Head | Axial view
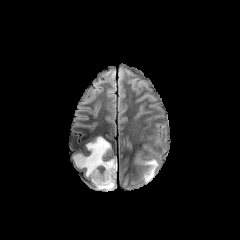
FLAIR MRI.
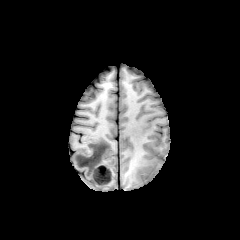
T1-weighted MR.
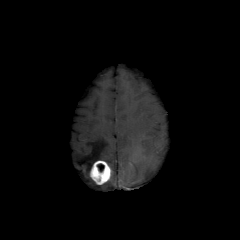
Same slice, post-contrast T1-weighted magnetic resonance.
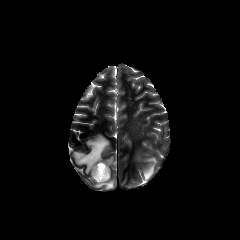
T2-weighted MR image.
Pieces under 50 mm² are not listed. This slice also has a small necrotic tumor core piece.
enhancing tumor — x1=90 y1=160 x2=111 y2=184
peritumoral edema — x1=143 y1=158 x2=158 y2=182, x1=74 y1=136 x2=110 y2=176, x1=91 y1=158 x2=116 y2=190